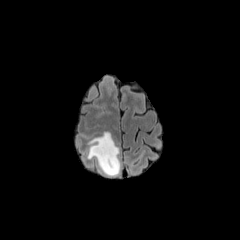
FLAIR MRI.
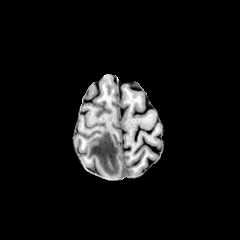
T1-weighted magnetic resonance.
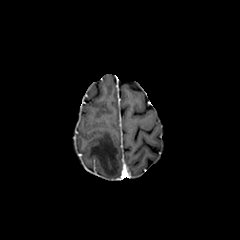
Post-contrast T1-weighted magnetic resonance.
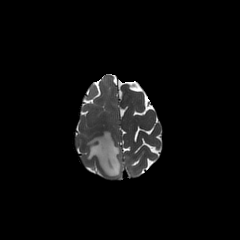
T2-weighted MR of the same slice.
Image size 240x240, Head
- peritumoral edema: rect(87, 131, 120, 176)